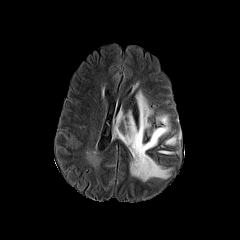
FLAIR MR.
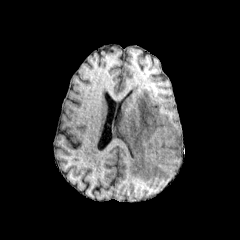
T1-weighted MR.
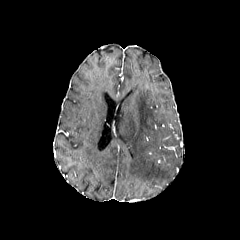
Post-contrast T1-weighted MRI.
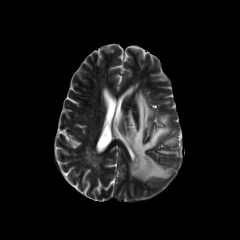
Same slice, T2-weighted MR.
Image size 240x240
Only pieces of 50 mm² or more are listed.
peritumoral edema: l=166, t=137, r=175, b=144; l=115, t=91, r=170, b=181